FLAIR magnetic resonance.
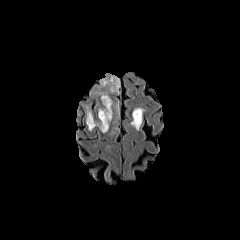
T1-weighted MR.
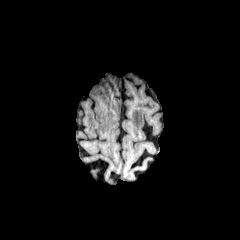
Post-contrast T1-weighted magnetic resonance.
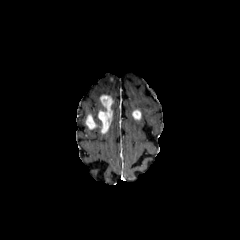
T2-weighted magnetic resonance.
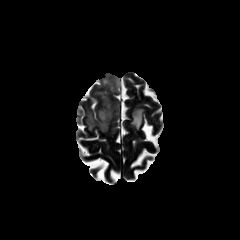
Axial view
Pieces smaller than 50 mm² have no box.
enhancing tumor: bounding box (86, 114, 96, 129), (98, 95, 113, 133), (132, 110, 141, 120)
peritumoral edema: bounding box (85, 105, 92, 118), (130, 107, 145, 130), (94, 76, 120, 96)